Head | Image width 240 mm, 1.00 mm slice spacing
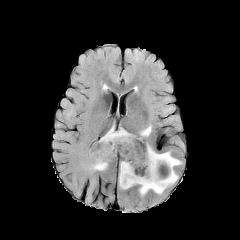
FLAIR MR.
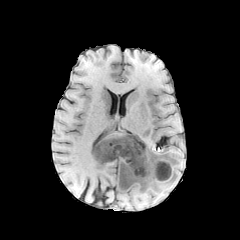
T1-weighted magnetic resonance.
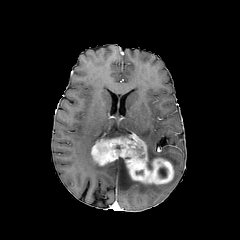
Post-contrast T1-weighted MRI of the same slice.
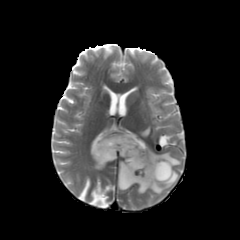
T2-weighted MRI.
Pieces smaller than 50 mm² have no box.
enhancing tumor: (left=91, top=133, right=173, bottom=184) | peritumoral edema: (left=92, top=161, right=107, bottom=170), (left=101, top=127, right=131, bottom=139), (left=140, top=126, right=151, bottom=136), (left=146, top=144, right=181, bottom=169), (left=118, top=161, right=178, bottom=194) | necrotic tumor core: (left=158, top=167, right=166, bottom=177)